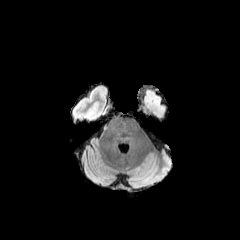
FLAIR magnetic resonance.
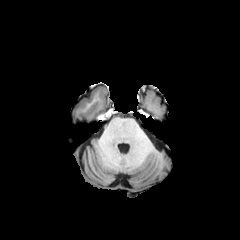
T1-weighted MR image.
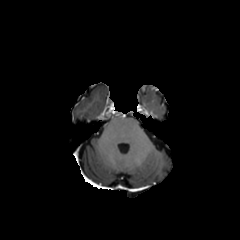
Post-contrast T1-weighted MR.
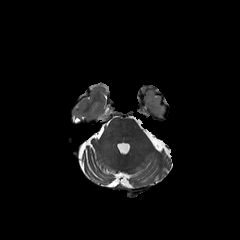
T2-weighted MR image.
Brain; 240x240 px
The peritumoral edema is located at <box>145,91,165,116</box>.